Slice 118 of 155; 240x240; Axial plane
FLAIR MR.
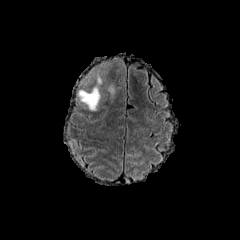
T1-weighted magnetic resonance.
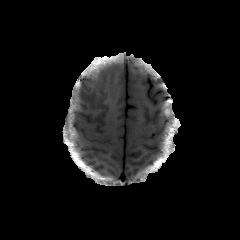
Post-contrast T1-weighted MR.
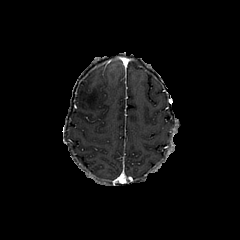
T2-weighted MRI.
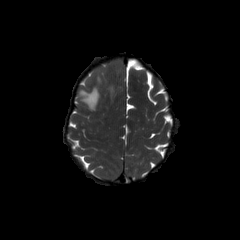
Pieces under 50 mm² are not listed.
The largest peritumoral edema region is located at x1=78, y1=72, x2=101, y2=110.